Slice 25/155. Axial plane. Brain.
FLAIR MRI.
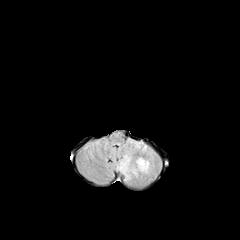
T1-weighted MR image.
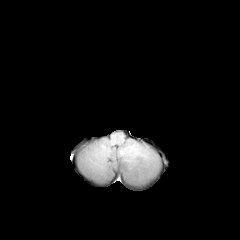
Post-contrast T1-weighted MRI.
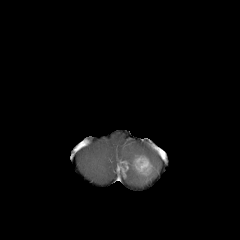
T2-weighted MRI.
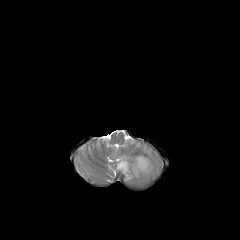
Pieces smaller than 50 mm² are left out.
The largest peritumoral edema region lies within {"x1": 112, "y1": 140, "x2": 159, "y2": 183}. 2 enhancing tumor regions are bounded by {"x1": 132, "y1": 156, "x2": 153, "y2": 175}, {"x1": 117, "y1": 161, "x2": 128, "y2": 174}.